FLAIR magnetic resonance.
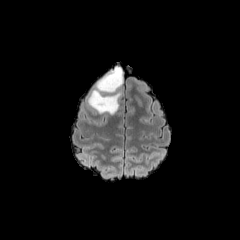
T1-weighted magnetic resonance.
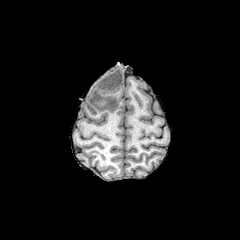
Post-contrast T1-weighted magnetic resonance.
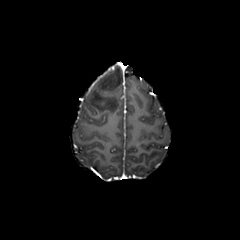
T2-weighted magnetic resonance.
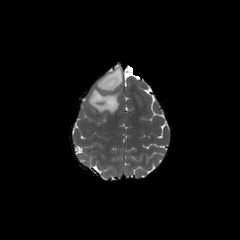
{
  "peritumoral_edema": [
    "88, 89, 121, 114",
    "95, 66, 122, 91"
  ]
}